240x240 | Axial plane | Image width 240 mm, 1.00 mm slice spacing
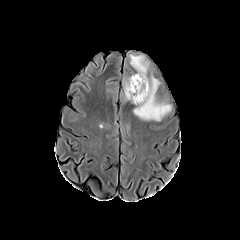
FLAIR MRI.
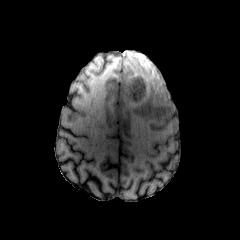
T1-weighted MR image of the same slice.
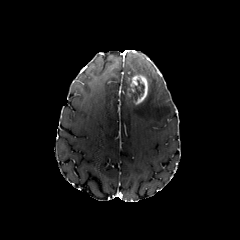
Post-contrast T1-weighted MR of the same slice.
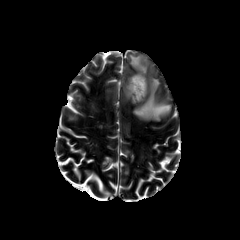
T2-weighted MRI.
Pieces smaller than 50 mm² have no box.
Findings:
* peritumoral edema: <box>133,78,171,121</box>, <box>132,57,145,73</box>
* enhancing tumor: <box>127,75,147,104</box>
* necrotic tumor core: <box>129,80,144,100</box>